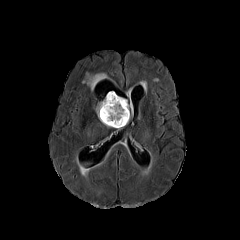
FLAIR MR.
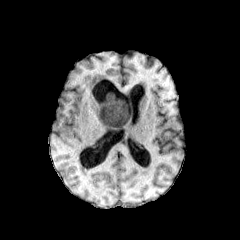
Same slice, T1-weighted magnetic resonance.
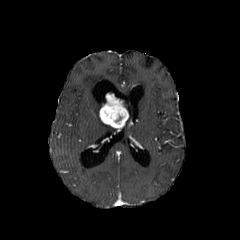
Post-contrast T1-weighted magnetic resonance.
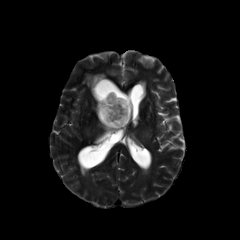
T2-weighted MR of the same slice.
Axial view. Head.
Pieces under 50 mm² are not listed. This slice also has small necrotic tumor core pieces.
peritumoral edema at (left=95, top=99, right=105, bottom=116), (left=120, top=98, right=132, bottom=111), (left=83, top=73, right=107, bottom=90)
enhancing tumor at (left=99, top=92, right=129, bottom=128)